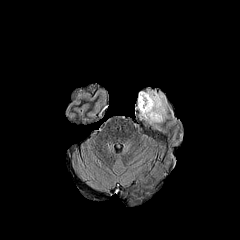
FLAIR MR.
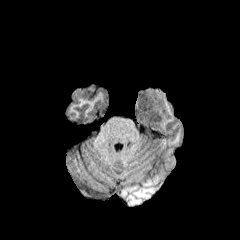
T1-weighted MR.
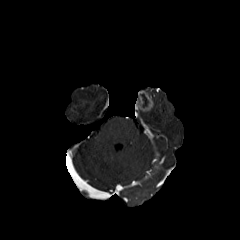
Post-contrast T1-weighted MR image.
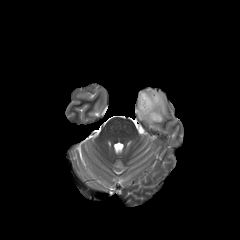
T2-weighted MR.
Axial view
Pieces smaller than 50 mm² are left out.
necrotic tumor core at 140,94,148,107
peritumoral edema at 137,89,167,124
enhancing tumor at 138,91,153,111